240x240, Image width 240 mm, Slice 84 of 155, Axial slice, Brain
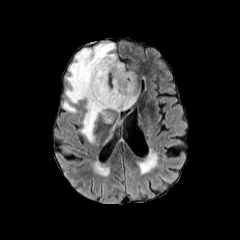
FLAIR MR.
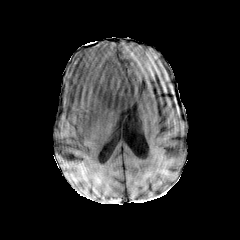
T1-weighted magnetic resonance.
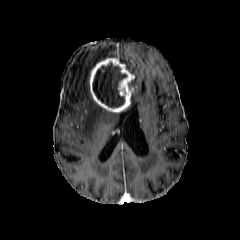
Same slice, post-contrast T1-weighted magnetic resonance.
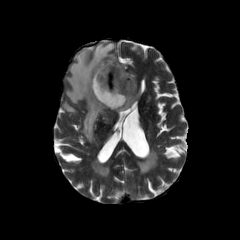
Same slice, T2-weighted MR.
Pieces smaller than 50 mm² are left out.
The necrotic tumor core is bounded by box=[93, 63, 126, 107]. The enhancing tumor appears at box=[89, 57, 134, 112]. The 3 largest peritumoral edema regions appear at box=[62, 100, 77, 113]; box=[65, 42, 117, 141]; box=[131, 75, 136, 104].